240x240; Axial view
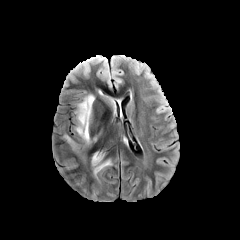
FLAIR MRI.
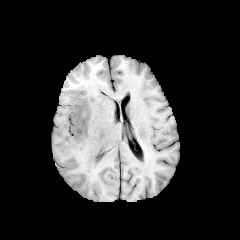
T1-weighted MR.
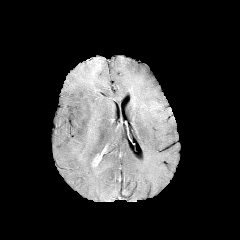
Post-contrast T1-weighted MRI.
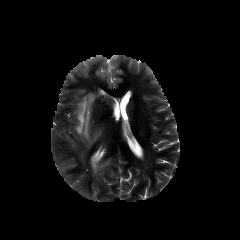
Same slice, T2-weighted MRI.
peritumoral edema: bounding box <box>74,94,97,144</box>, <box>91,151,111,175</box>, <box>64,135,75,147</box>